Image size 240x240.
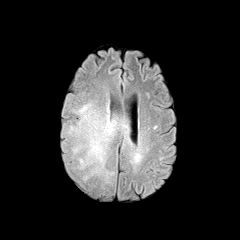
FLAIR MR image.
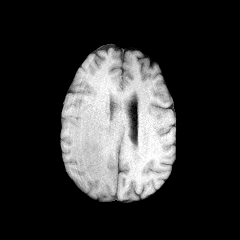
Same slice, T1-weighted MR.
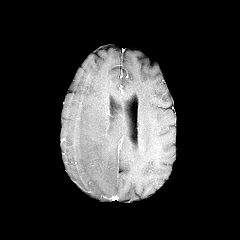
Post-contrast T1-weighted MR.
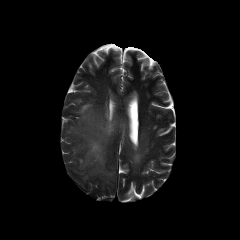
T2-weighted MR of the same slice.
peritumoral_edema:
  - left=68, top=102, right=128, bottom=182